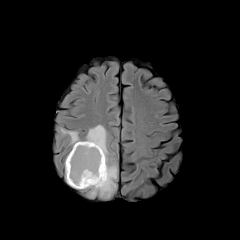
FLAIR MR.
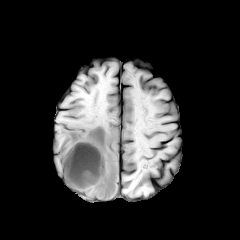
Same slice, T1-weighted magnetic resonance.
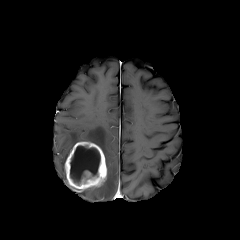
Post-contrast T1-weighted MRI of the same slice.
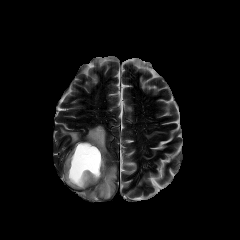
T2-weighted MR image.
Brain | Axial view
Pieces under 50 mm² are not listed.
enhancing tumor: l=65, t=141, r=106, b=190 | necrotic tumor core: l=70, t=146, r=100, b=183 | peritumoral edema: l=60, t=125, r=117, b=198